Head, Image size 240x240
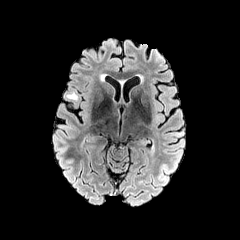
FLAIR magnetic resonance.
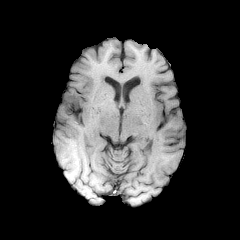
T1-weighted magnetic resonance of the same slice.
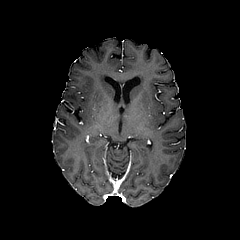
Same slice, post-contrast T1-weighted MR.
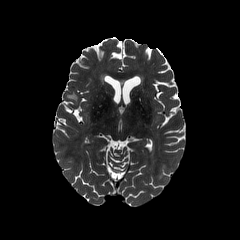
T2-weighted MRI of the same slice.
peritumoral edema at region(66, 91, 78, 101)